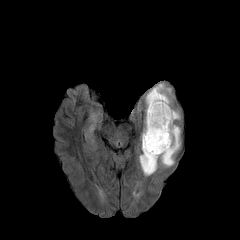
FLAIR magnetic resonance.
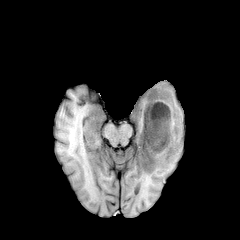
T1-weighted MR.
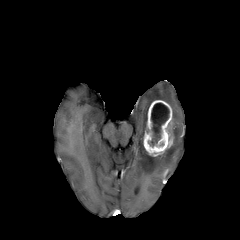
Same slice, post-contrast T1-weighted magnetic resonance.
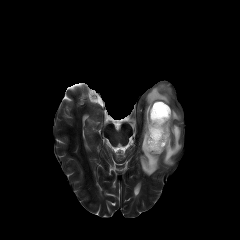
T2-weighted MR image.
Brain
peritumoral_edema:
  - 139, 83, 180, 175
enhancing_tumor:
  - 143, 100, 173, 156
necrotic_tumor_core:
  - 150, 103, 169, 145